Axial plane
FLAIR MRI.
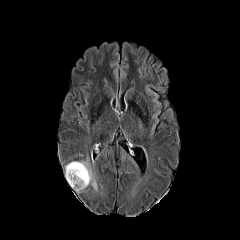
T1-weighted MR image.
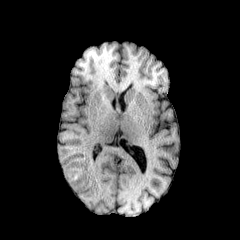
Post-contrast T1-weighted MR image.
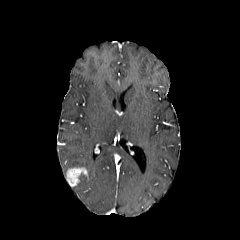
T2-weighted MRI.
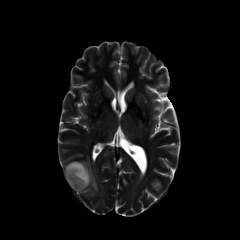
enhancing tumor = bbox(66, 167, 88, 186)
peritumoral edema = bbox(65, 160, 97, 192)